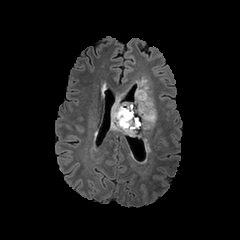
FLAIR magnetic resonance.
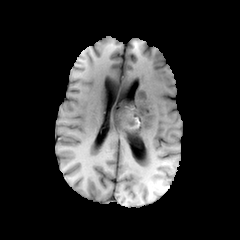
T1-weighted MR image of the same slice.
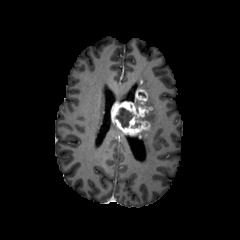
Post-contrast T1-weighted MRI of the same slice.
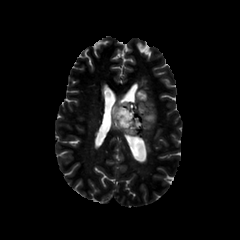
Same slice, T2-weighted MRI.
Axial view. Head.
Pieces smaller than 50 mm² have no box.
peritumoral edema = x1=136 y1=78 x2=154 y2=136
necrotic tumor core = x1=132 y1=98 x2=142 y2=111, x1=116 y1=108 x2=133 y2=127
enhancing tumor = x1=110 y1=89 x2=152 y2=135